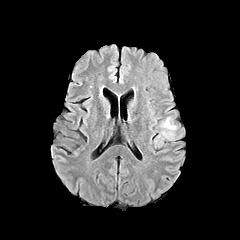
FLAIR magnetic resonance.
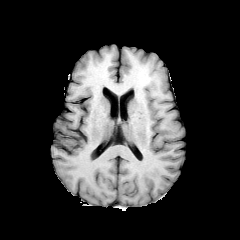
T1-weighted MR.
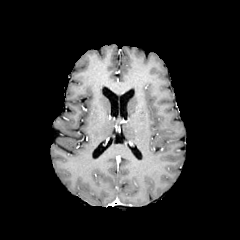
Same slice, post-contrast T1-weighted MR.
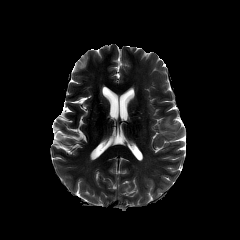
T2-weighted magnetic resonance of the same slice.
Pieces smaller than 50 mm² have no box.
peritumoral edema: bounding box <bbox>162, 118, 176, 130</bbox>